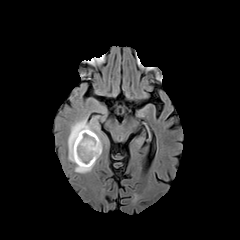
FLAIR MRI.
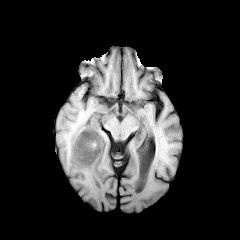
T1-weighted MR.
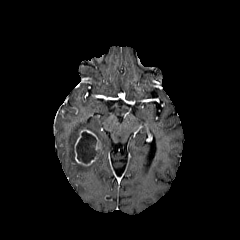
Post-contrast T1-weighted magnetic resonance of the same slice.
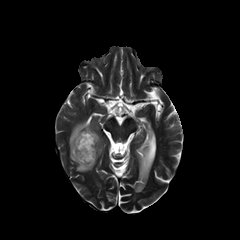
Same slice, T2-weighted magnetic resonance.
Axial view.
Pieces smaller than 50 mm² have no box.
<segmentation>
  <peritumoral_edema>box=[67, 83, 109, 174]</peritumoral_edema>
  <necrotic_tumor_core>box=[76, 131, 99, 163]</necrotic_tumor_core>
  <enhancing_tumor>box=[74, 129, 101, 165]</enhancing_tumor>
</segmentation>